FLAIR MR image.
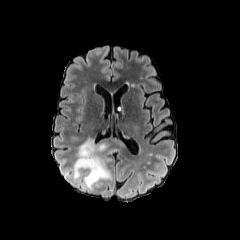
T1-weighted MR.
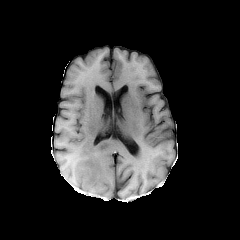
Post-contrast T1-weighted MR.
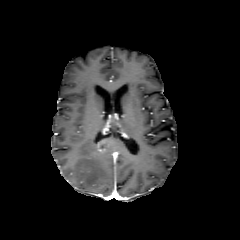
T2-weighted magnetic resonance.
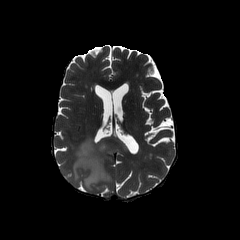
Axial view, Brain
enhancing_tumor:
  - [x1=97, y1=144, x2=106, y2=152]
peritumoral_edema:
  - [x1=74, y1=137, x2=124, y2=188]